Slice 94 of 155 | Brain
FLAIR MR image.
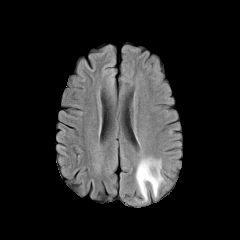
T1-weighted magnetic resonance.
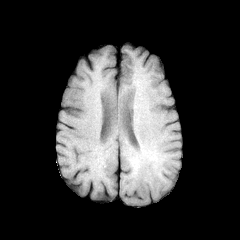
Post-contrast T1-weighted magnetic resonance.
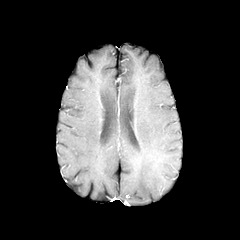
T2-weighted MRI.
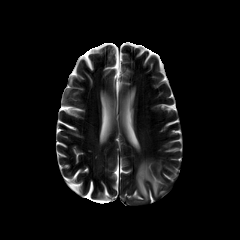
<segmentation>
  <peritumoral_edema>136, 158, 164, 202</peritumoral_edema>
</segmentation>